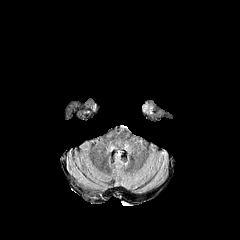
FLAIR magnetic resonance.
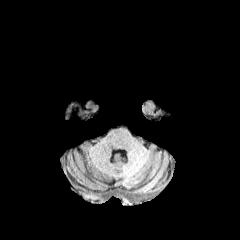
T1-weighted MR.
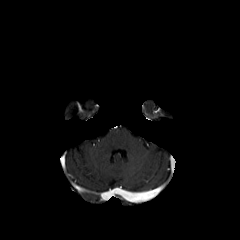
Same slice, post-contrast T1-weighted MRI.
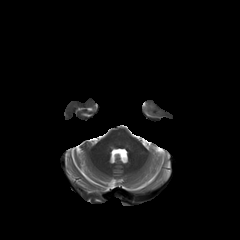
Same slice, T2-weighted MRI.
Head | Axial plane
Segmented structures:
- peritumoral edema: bbox=[142, 102, 153, 113]